FLAIR magnetic resonance.
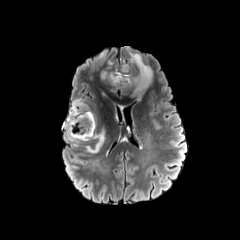
T1-weighted magnetic resonance.
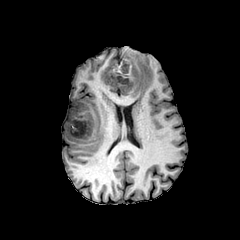
Post-contrast T1-weighted MR.
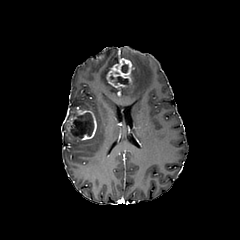
T2-weighted MR image.
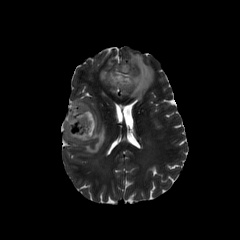
Head; Axial view
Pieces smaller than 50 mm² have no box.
Annotated regions:
• peritumoral edema: [128, 50, 152, 100], [85, 129, 104, 153], [70, 99, 87, 110], [100, 70, 107, 80]
• necrotic tumor core: [70, 113, 93, 138], [121, 64, 128, 72], [115, 76, 128, 84]
• enhancing tumor: [106, 58, 134, 88], [64, 107, 96, 140]